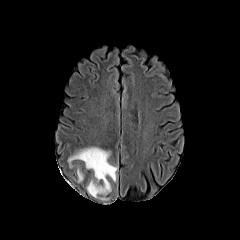
FLAIR magnetic resonance.
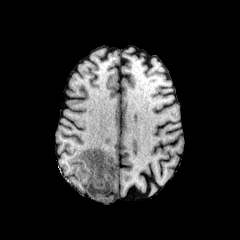
Same slice, T1-weighted MR image.
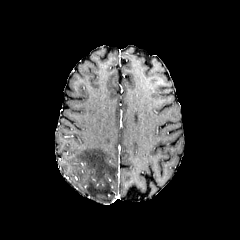
Same slice, post-contrast T1-weighted magnetic resonance.
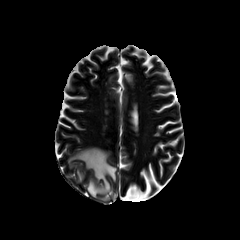
T2-weighted MRI.
Brain.
2 peritumoral edema regions are located at box=[77, 167, 83, 182]; box=[67, 146, 118, 200].